Axial plane, Brain, 240x240, Image covers 240 mm x 240 mm, Slice 87 of 155
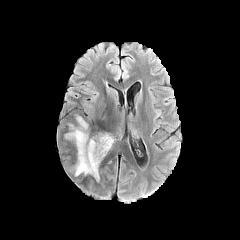
FLAIR magnetic resonance.
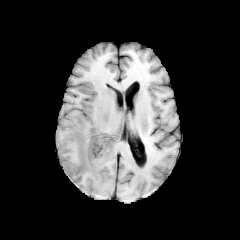
T1-weighted MRI.
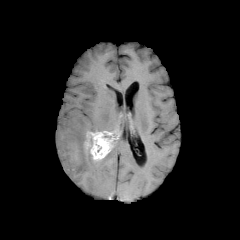
Post-contrast T1-weighted MRI.
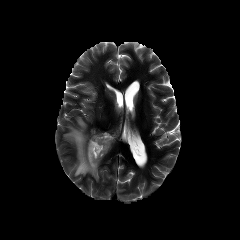
Same slice, T2-weighted MR image.
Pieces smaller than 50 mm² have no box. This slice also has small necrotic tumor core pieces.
enhancing tumor at [x1=83, y1=129, x2=115, y2=166]
peritumoral edema at [x1=65, y1=115, x2=100, y2=180]